Slice 46 of 155; Axial slice; Image size 240x240
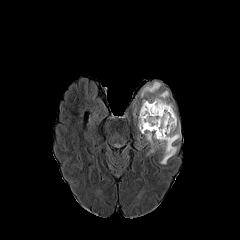
FLAIR MR.
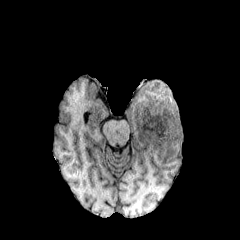
Same slice, T1-weighted MR.
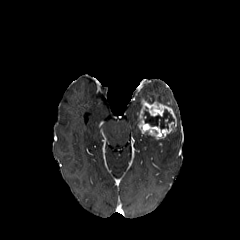
Post-contrast T1-weighted magnetic resonance of the same slice.
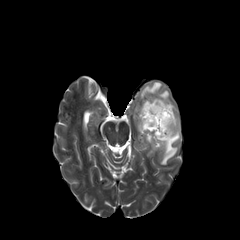
Same slice, T2-weighted magnetic resonance.
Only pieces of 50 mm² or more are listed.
enhancing tumor = [x1=138, y1=99, x2=176, y2=139]
peritumoral edema = [x1=133, y1=81, x2=181, y2=164]
necrotic tumor core = [x1=143, y1=109, x2=174, y2=129]